Axial plane | Image width 240 mm, 1.00 mm slice spacing
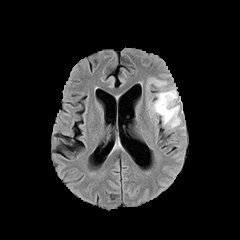
FLAIR MR image.
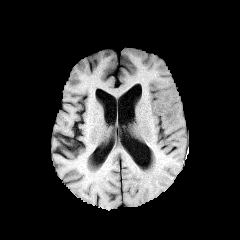
T1-weighted MR of the same slice.
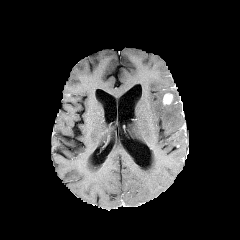
Post-contrast T1-weighted MR image.
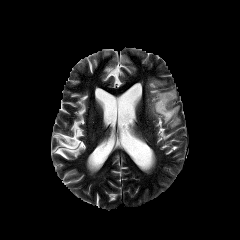
T2-weighted MR image.
enhancing tumor — 162 93 173 105
peritumoral edema — 148 78 166 87, 148 87 180 128